FLAIR MRI.
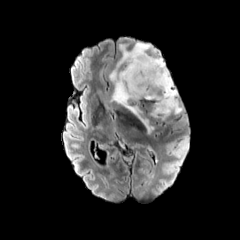
T1-weighted magnetic resonance.
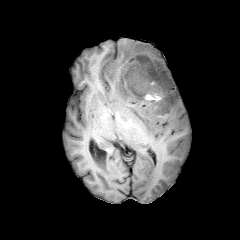
Post-contrast T1-weighted magnetic resonance.
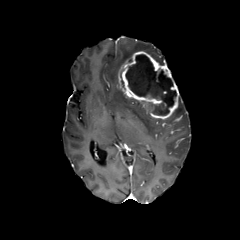
T2-weighted MRI.
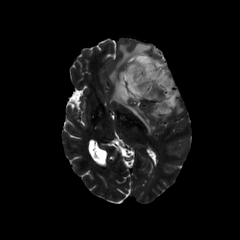
Axial view, Head
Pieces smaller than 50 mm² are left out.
{
  "peritumoral_edema": [
    "(172, 97, 183, 115)",
    "(109, 42, 163, 133)"
  ],
  "necrotic_tumor_core": [
    "(125, 54, 176, 115)"
  ],
  "enhancing_tumor": [
    "(118, 51, 179, 119)"
  ]
}